Brain. Axial view.
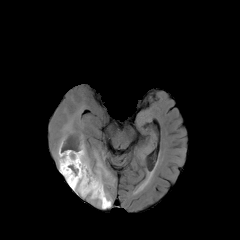
FLAIR MR.
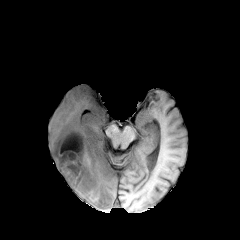
Same slice, T1-weighted MR.
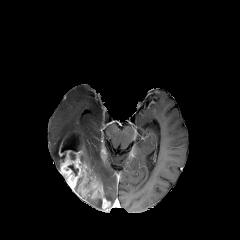
Post-contrast T1-weighted magnetic resonance of the same slice.
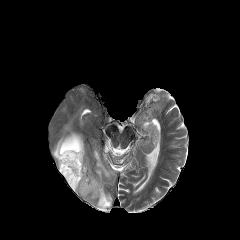
T2-weighted MR.
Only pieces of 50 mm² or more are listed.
necrotic tumor core: <bbox>61, 134, 81, 152</bbox>, <bbox>68, 165, 78, 175</bbox> | enhancing tumor: <bbox>58, 131, 110, 210</bbox> | peritumoral edema: <bbox>86, 197, 101, 208</bbox>, <bbox>78, 131, 114, 206</bbox>, <bbox>52, 115, 83, 168</bbox>